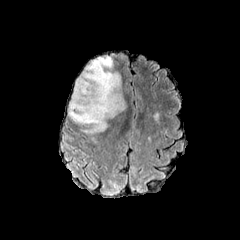
FLAIR MRI.
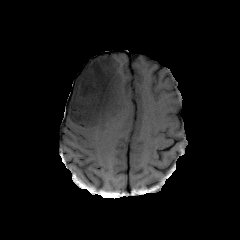
Same slice, T1-weighted MR image.
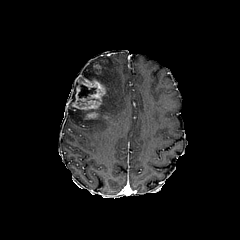
Same slice, post-contrast T1-weighted MR.
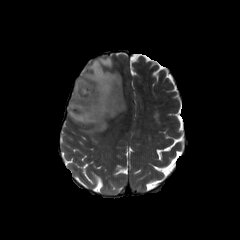
T2-weighted magnetic resonance.
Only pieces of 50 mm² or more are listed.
3 enhancing tumor regions appear at (left=84, top=111, right=99, bottom=119), (left=71, top=74, right=106, bottom=111), (left=93, top=64, right=101, bottom=73). The largest necrotic tumor core region is located at (left=78, top=83, right=96, bottom=98). The peritumoral edema appears at (left=68, top=56, right=126, bottom=134).